Axial slice, Head
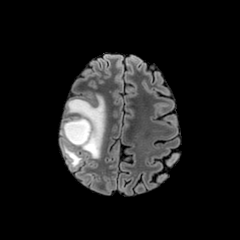
FLAIR MRI.
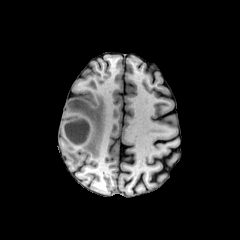
T1-weighted MRI.
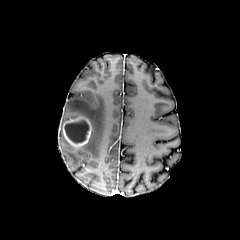
Post-contrast T1-weighted MR of the same slice.
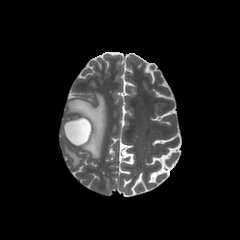
Same slice, T2-weighted MR image.
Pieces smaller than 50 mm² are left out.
Findings:
* necrotic tumor core: [65,120,88,143]
* enhancing tumor: [62,116,92,147]
* peritumoral edema: [60,130,81,167], [67,94,105,158]